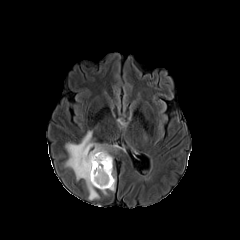
FLAIR MR image.
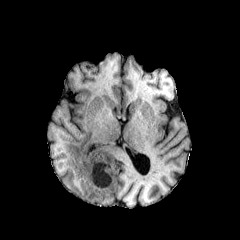
Same slice, T1-weighted magnetic resonance.
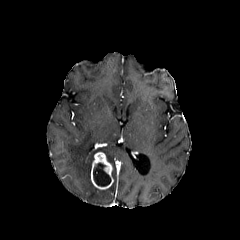
Post-contrast T1-weighted MRI of the same slice.
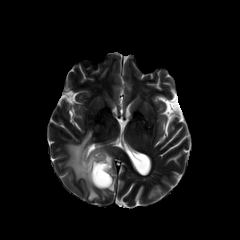
T2-weighted MR image of the same slice.
Axial view | Brain
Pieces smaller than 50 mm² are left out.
Annotated regions:
* peritumoral edema: bbox=[106, 177, 115, 191]; bbox=[65, 131, 120, 200]
* necrotic tumor core: bbox=[93, 163, 111, 186]
* enhancing tumor: bbox=[91, 152, 113, 189]